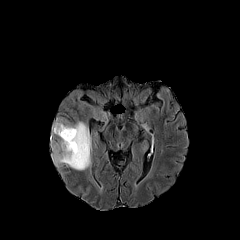
FLAIR MR image.
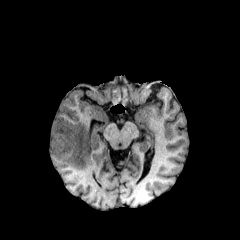
T1-weighted MR image of the same slice.
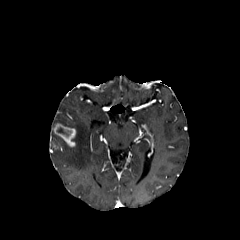
Post-contrast T1-weighted MR image.
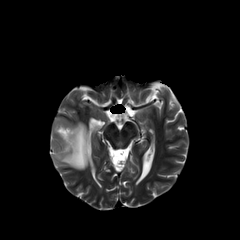
T2-weighted MR of the same slice.
240x240 px
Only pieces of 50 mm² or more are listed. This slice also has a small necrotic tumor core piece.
Annotated regions:
* peritumoral edema: <box>51,117,91,170</box>
* enhancing tumor: <box>52,123,76,147</box>